FLAIR MR.
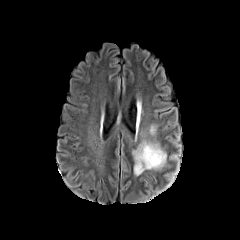
T1-weighted MR.
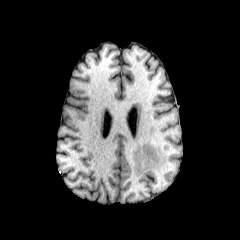
Post-contrast T1-weighted MR image.
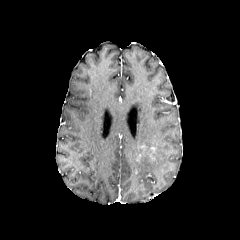
T2-weighted MRI.
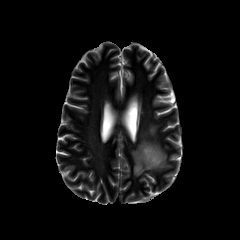
Image size 240x240. Axial view. Brain.
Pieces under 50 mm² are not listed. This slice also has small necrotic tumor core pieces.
peritumoral_edema:
  - x1=132 y1=140 x2=166 y2=175
enhancing_tumor:
  - x1=141 y1=145 x2=154 y2=160